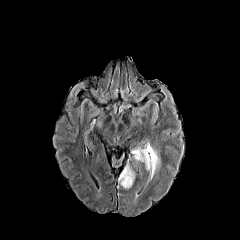
FLAIR MRI.
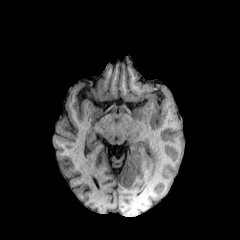
T1-weighted magnetic resonance.
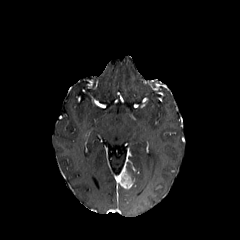
Post-contrast T1-weighted MRI.
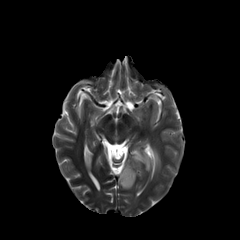
T2-weighted MR image.
240x240 px | Axial plane
enhancing tumor at 119:169:134:188
peritumoral edema at 132:145:159:179, 127:167:135:179